Head. Slice 76 of 155.
FLAIR MR.
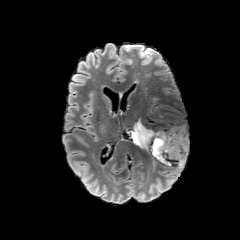
T1-weighted MRI.
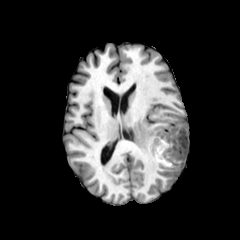
Post-contrast T1-weighted MR image.
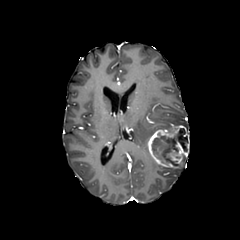
T2-weighted MRI.
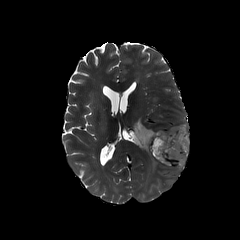
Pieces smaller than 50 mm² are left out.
peritumoral edema: 129, 118, 155, 153
necrotic tumor core: 152, 128, 187, 165
enhancing tumor: 147, 125, 189, 168